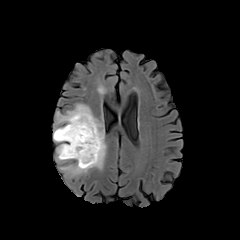
FLAIR MR.
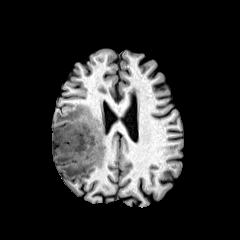
T1-weighted magnetic resonance.
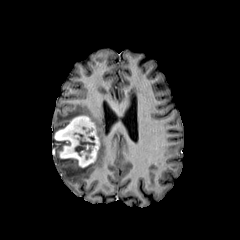
Same slice, post-contrast T1-weighted magnetic resonance.
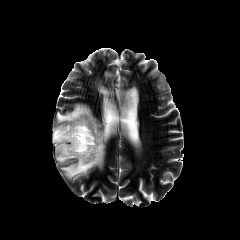
T2-weighted MR image.
Axial plane
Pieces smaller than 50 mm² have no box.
{"necrotic_tumor_core": ["bbox(74, 133, 94, 155)"], "enhancing_tumor": ["bbox(54, 115, 99, 167)"], "peritumoral_edema": ["bbox(53, 103, 106, 179)"]}